Slice 134 of 155
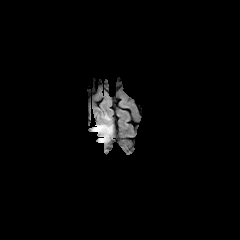
FLAIR MR.
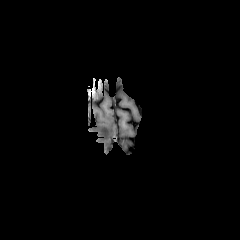
T1-weighted MR of the same slice.
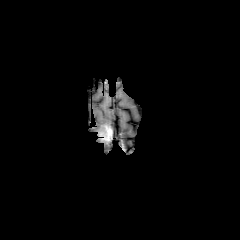
Post-contrast T1-weighted MRI.
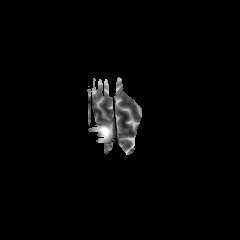
Same slice, T2-weighted MR image.
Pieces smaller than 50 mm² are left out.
<segmentation>
  <enhancing_tumor>97 124 112 142</enhancing_tumor>
  <peritumoral_edema>91 112 113 136</peritumoral_edema>
</segmentation>